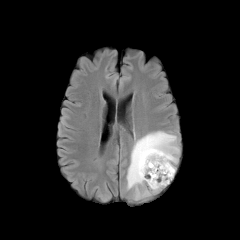
FLAIR MR.
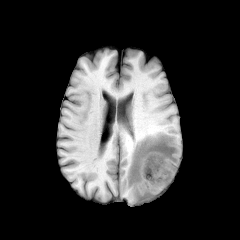
T1-weighted MRI.
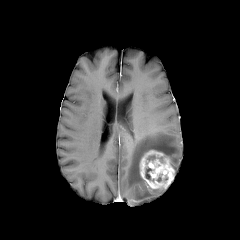
Same slice, post-contrast T1-weighted MRI.
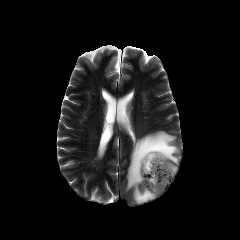
T2-weighted MR of the same slice.
Brain
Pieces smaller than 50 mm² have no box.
enhancing tumor — [140,150,174,189]
peritumoral edema — [126,131,179,202]
necrotic tumor core — [145,168,151,180]